Brain; Axial view; Slice index 92; 240x240 px
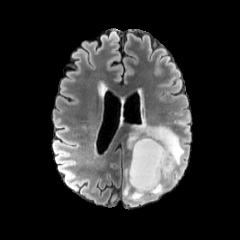
FLAIR MR image.
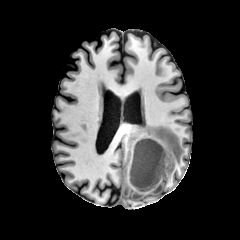
T1-weighted MRI.
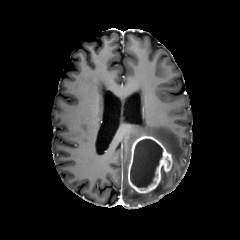
Post-contrast T1-weighted MR of the same slice.
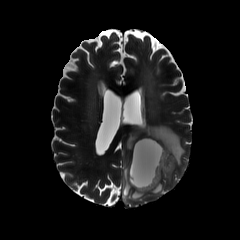
Same slice, T2-weighted MRI.
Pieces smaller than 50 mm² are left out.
peritumoral edema — rect(123, 119, 184, 205)
enhancing tumor — rect(128, 136, 172, 193)
necrotic tumor core — rect(130, 139, 162, 187)